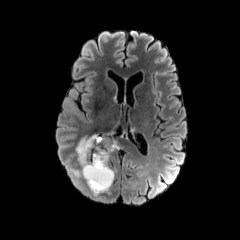
FLAIR magnetic resonance.
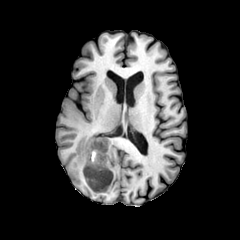
T1-weighted magnetic resonance of the same slice.
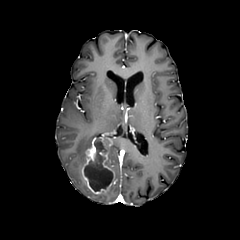
Same slice, post-contrast T1-weighted MR.
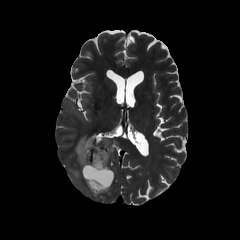
T2-weighted MR.
Axial plane
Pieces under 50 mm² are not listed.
- necrotic tumor core: (84,139,112,191)
- enhancing tumor: (82,137,114,194)
- peritumoral edema: (65,95,90,123), (106,142,118,164), (76,135,98,166)